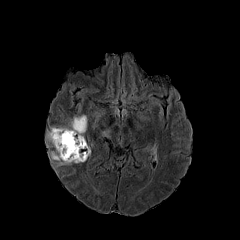
FLAIR magnetic resonance.
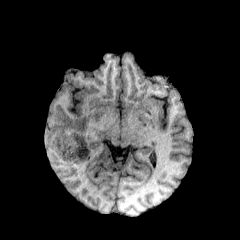
T1-weighted MR of the same slice.
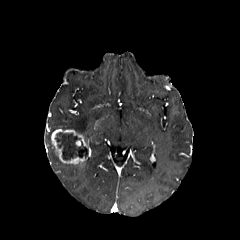
Same slice, post-contrast T1-weighted MR.
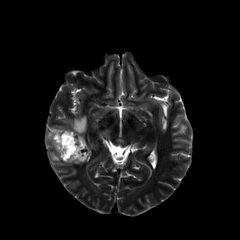
T2-weighted MR image of the same slice.
Image size 240x240.
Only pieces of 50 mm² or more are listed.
enhancing tumor = box=[51, 128, 89, 163]
peritumoral edema = box=[49, 151, 71, 166]; box=[67, 116, 87, 135]
necrotic tumor core = box=[55, 132, 88, 160]